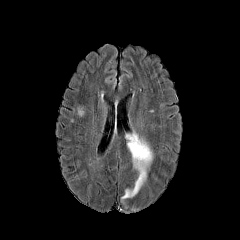
FLAIR MRI.
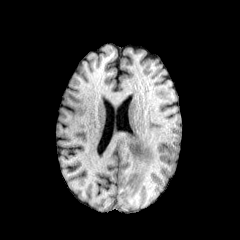
T1-weighted MR.
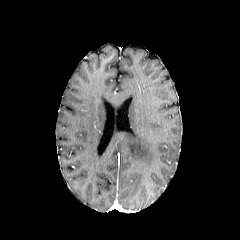
Same slice, post-contrast T1-weighted magnetic resonance.
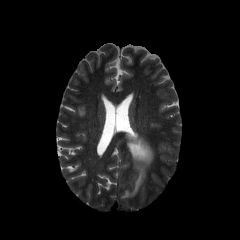
T2-weighted MRI of the same slice.
Axial plane.
Findings:
- peritumoral edema: {"x1": 121, "y1": 132, "x2": 153, "y2": 199}